Slice 97/155. Axial slice. 240x240.
FLAIR MRI.
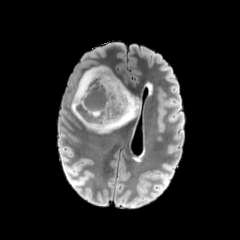
T1-weighted MRI.
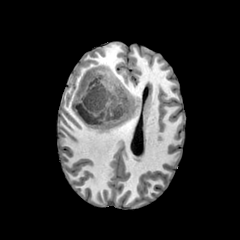
Post-contrast T1-weighted MRI.
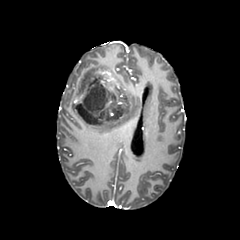
T2-weighted MRI.
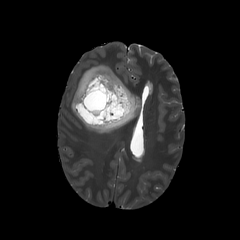
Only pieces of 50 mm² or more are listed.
enhancing tumor: left=90, top=71, right=128, bottom=118; left=74, top=83, right=88, bottom=105
necrotic tumor core: left=75, top=78, right=123, bottom=124
peritumoral edema: left=71, top=66, right=140, bottom=133